Head, Slice 117/155, Image covers 240 mm x 240 mm, 240x240 px
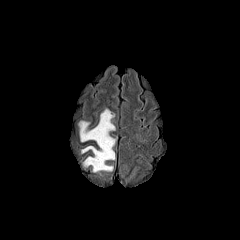
FLAIR MRI.
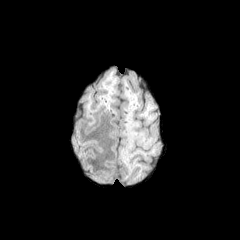
T1-weighted MRI.
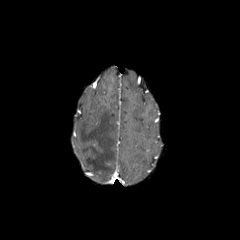
Post-contrast T1-weighted MRI.
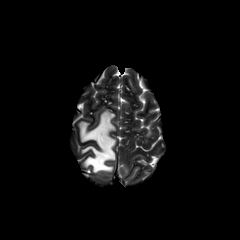
Same slice, T2-weighted magnetic resonance.
peritumoral edema at l=79, t=109, r=115, b=172